Head, Slice 77 of 155, Image size 240x240
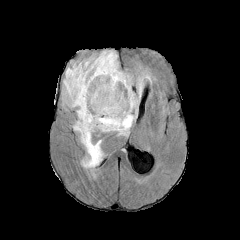
FLAIR magnetic resonance.
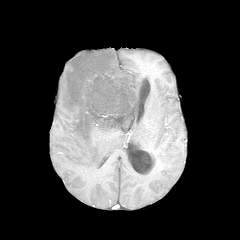
T1-weighted MR of the same slice.
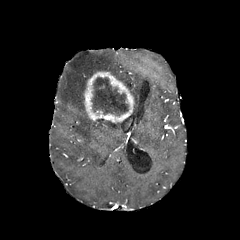
Post-contrast T1-weighted MR image.
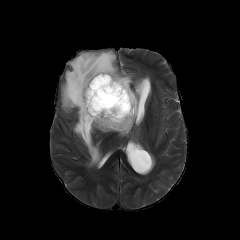
Same slice, T2-weighted MRI.
The necrotic tumor core is at bbox(92, 77, 128, 115). The peritumoral edema appears at bbox(61, 50, 150, 167). The enhancing tumor is bounded by bbox(83, 71, 134, 123).